FLAIR MR.
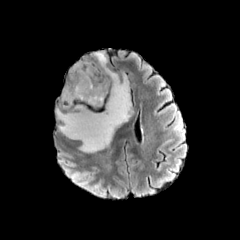
T1-weighted MR image.
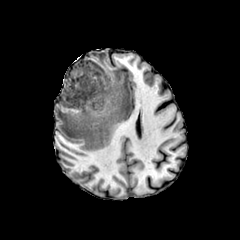
Post-contrast T1-weighted MR image.
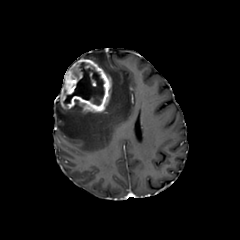
T2-weighted MRI.
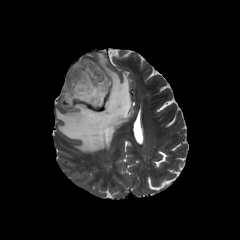
Axial view
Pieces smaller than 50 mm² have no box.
enhancing_tumor:
  - (left=60, top=58, right=111, bottom=112)
necrotic_tumor_core:
  - (left=63, top=62, right=104, bottom=105)
peritumoral_edema:
  - (left=56, top=52, right=132, bottom=152)